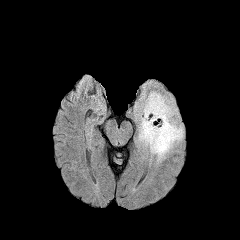
FLAIR magnetic resonance.
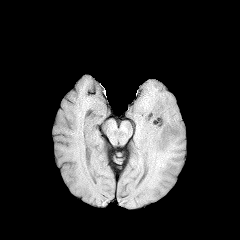
Same slice, T1-weighted MR.
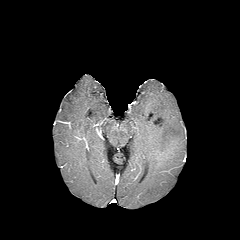
Same slice, post-contrast T1-weighted MR image.
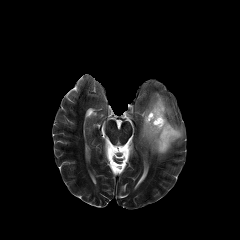
T2-weighted MR image.
peritumoral edema: 135 92 183 160